FLAIR MR image.
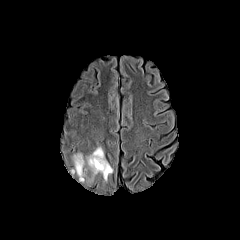
T1-weighted MR image.
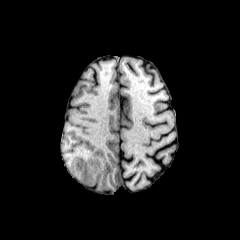
Post-contrast T1-weighted magnetic resonance.
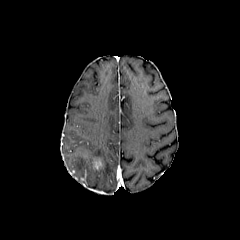
T2-weighted MR image.
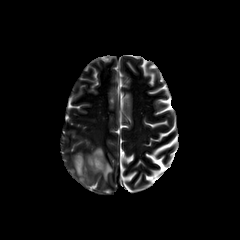
Head
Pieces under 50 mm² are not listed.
The largest enhancing tumor region is bounded by [92, 158, 102, 169]. 2 peritumoral edema regions are bounded by [86, 147, 113, 181], [72, 153, 84, 180].